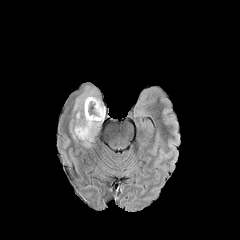
FLAIR magnetic resonance.
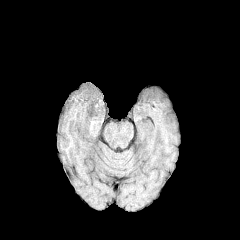
Same slice, T1-weighted MRI.
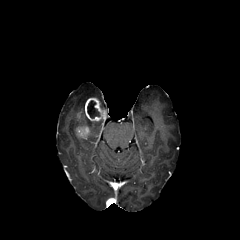
Post-contrast T1-weighted magnetic resonance.
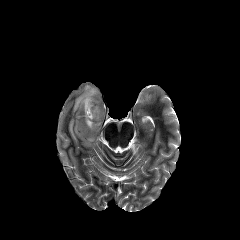
Same slice, T2-weighted MR.
Axial slice. Head.
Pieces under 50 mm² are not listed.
enhancing tumor: left=75, top=125, right=89, bottom=139; left=85, top=97, right=106, bottom=121
peritumoral edema: left=70, top=85, right=103, bottom=147
necrotic tumor core: left=87, top=101, right=99, bottom=118